FLAIR MRI.
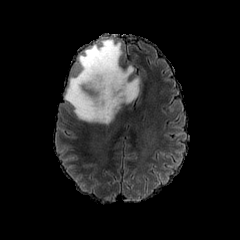
T1-weighted MR.
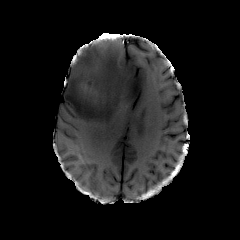
Post-contrast T1-weighted magnetic resonance.
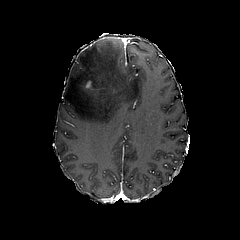
T2-weighted magnetic resonance.
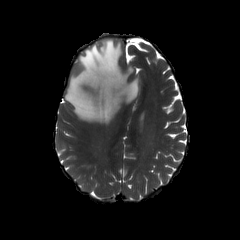
Image size 240x240
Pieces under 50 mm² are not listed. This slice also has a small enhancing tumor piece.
{"peritumoral_edema": ["(left=64, top=38, right=139, bottom=124)"]}